FLAIR MR image.
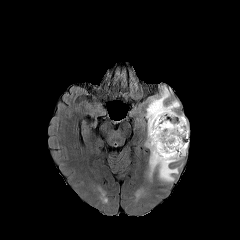
T1-weighted MR image.
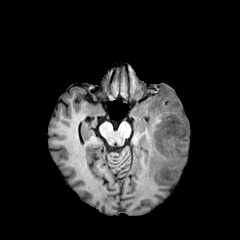
Post-contrast T1-weighted magnetic resonance.
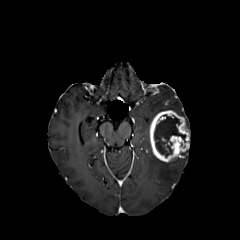
T2-weighted MR image.
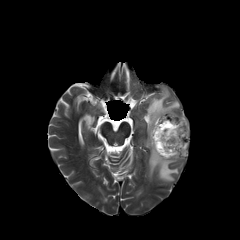
Head.
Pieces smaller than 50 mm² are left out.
necrotic tumor core at 154 115 185 156
peritumoral edema at 146 87 179 181
enhancing tumor at 149 110 189 162